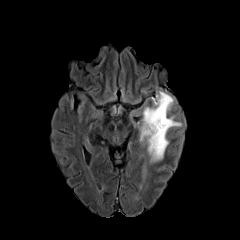
FLAIR MR image.
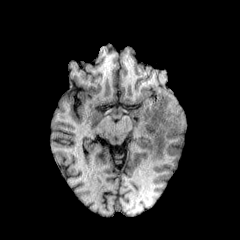
Same slice, T1-weighted MRI.
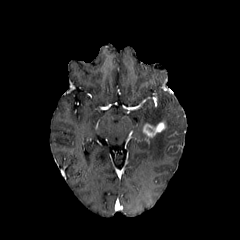
Post-contrast T1-weighted MRI of the same slice.
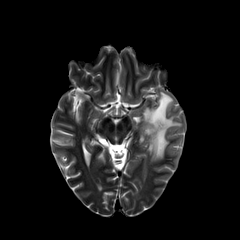
T2-weighted magnetic resonance.
Axial view | Image size 240x240 | Brain
The peritumoral edema appears at [140,91,181,162]. The enhancing tumor is bounded by [143,120,166,140].